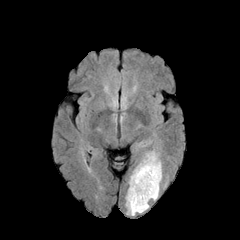
FLAIR MR.
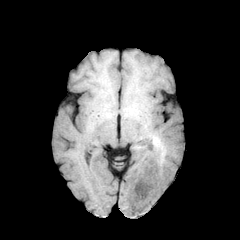
T1-weighted magnetic resonance.
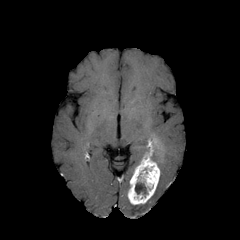
Post-contrast T1-weighted MR image of the same slice.
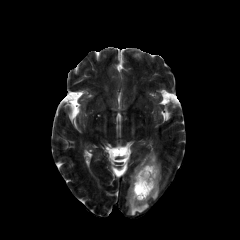
T2-weighted magnetic resonance of the same slice.
240x240 px
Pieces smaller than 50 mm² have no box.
enhancing tumor: <bbox>127, 140, 159, 204</bbox> | necrotic tumor core: <bbox>135, 182, 146, 194</bbox> | peritumoral edema: <bbox>150, 151, 162, 200</bbox>, <bbox>125, 196, 148, 215</bbox>